FLAIR MRI.
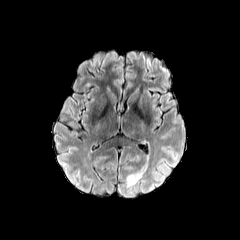
T1-weighted MRI.
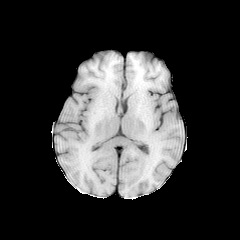
Post-contrast T1-weighted MRI.
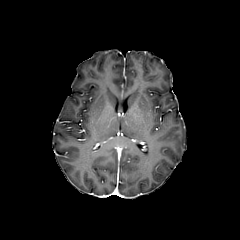
T2-weighted MR.
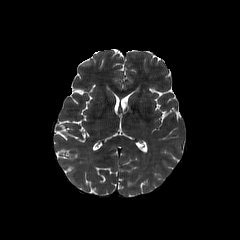
Axial slice.
Findings:
* peritumoral edema: box=[127, 163, 147, 186]